Brain
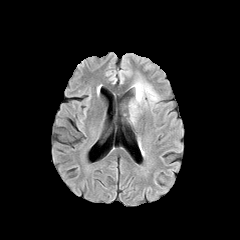
FLAIR MR image.
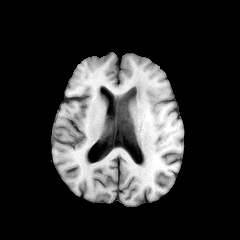
Same slice, T1-weighted magnetic resonance.
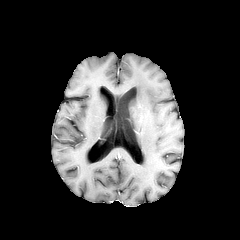
Post-contrast T1-weighted MR of the same slice.
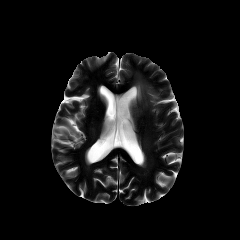
Same slice, T2-weighted MR image.
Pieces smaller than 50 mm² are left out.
peritumoral edema: (x1=134, y1=81, x2=157, y2=101)